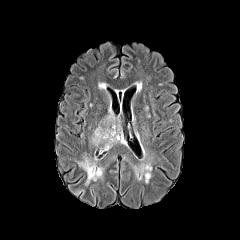
FLAIR magnetic resonance.
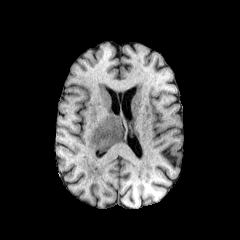
T1-weighted magnetic resonance.
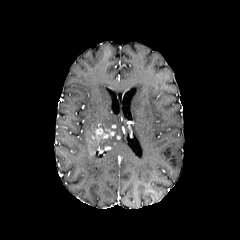
Post-contrast T1-weighted magnetic resonance of the same slice.
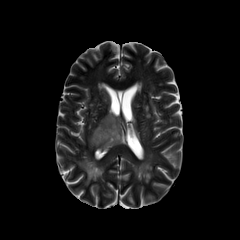
T2-weighted magnetic resonance.
Axial plane
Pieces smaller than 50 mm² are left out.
Segmented structures:
• enhancing tumor: <box>92,126,115,144</box>
• necrotic tumor core: <box>99,133,116,146</box>
• peritumoral edema: <box>89,137,103,149</box>, <box>78,155,103,185</box>, <box>98,112,123,149</box>